Image width 240 mm, 1.00 mm slice spacing. Axial plane.
FLAIR MR image.
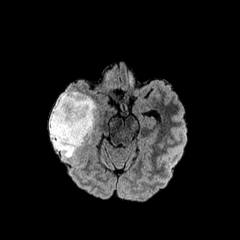
T1-weighted MRI.
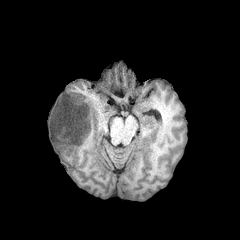
Post-contrast T1-weighted MR.
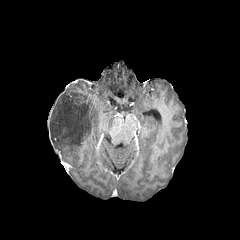
T2-weighted MR.
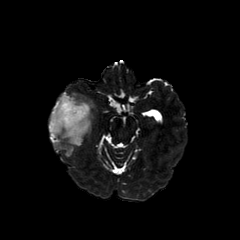
peritumoral edema — (left=49, top=91, right=96, bottom=157)